FLAIR MRI.
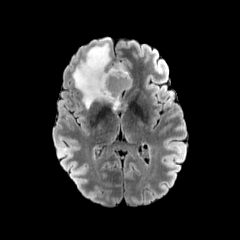
T1-weighted MRI.
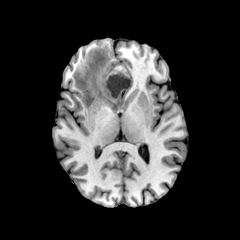
Post-contrast T1-weighted MR.
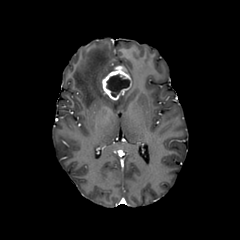
T2-weighted MR image.
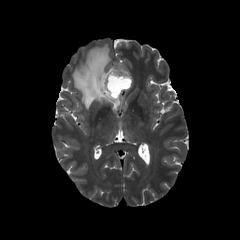
Axial slice; Brain
peritumoral_edema:
  - (72, 43, 123, 109)
enhancing_tumor:
  - (102, 66, 131, 100)
necrotic_tumor_core:
  - (107, 74, 130, 97)